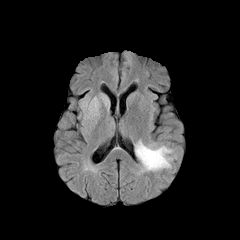
FLAIR MR.
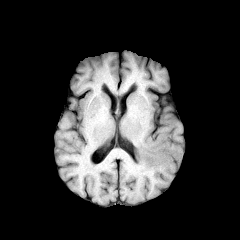
T1-weighted MRI.
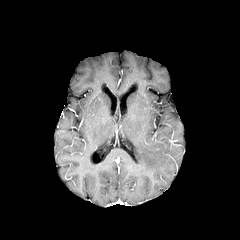
Same slice, post-contrast T1-weighted magnetic resonance.
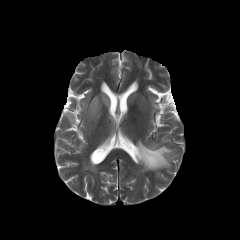
T2-weighted MR image.
Image size 240x240
peritumoral edema = 81, 94, 100, 139; 135, 140, 172, 171; 100, 94, 108, 106